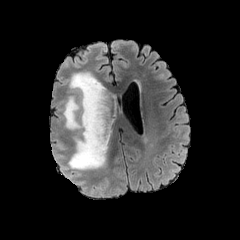
FLAIR MR.
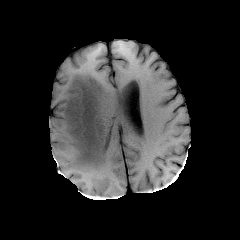
Same slice, T1-weighted MR image.
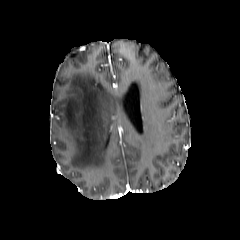
Same slice, post-contrast T1-weighted magnetic resonance.
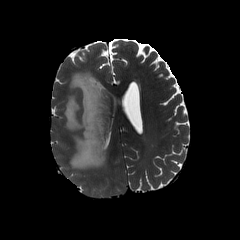
T2-weighted MR of the same slice.
Brain
The peritumoral edema lies within 63 72 117 169.